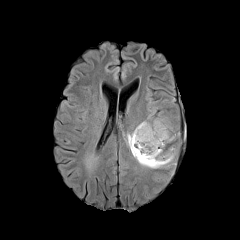
FLAIR magnetic resonance.
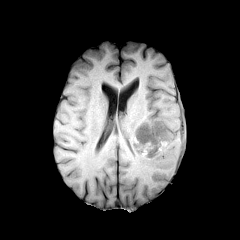
Same slice, T1-weighted MR image.
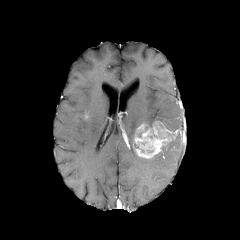
Post-contrast T1-weighted MR.
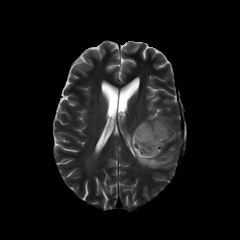
T2-weighted magnetic resonance.
240x240 px, Axial plane
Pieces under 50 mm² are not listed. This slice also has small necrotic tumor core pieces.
peritumoral edema at bbox(154, 118, 169, 128); bbox(127, 128, 174, 168)
enhancing tumor at bbox(135, 121, 171, 158)